Slice index 68
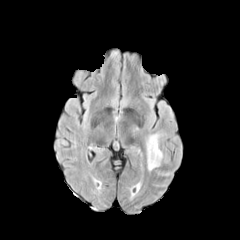
FLAIR MRI.
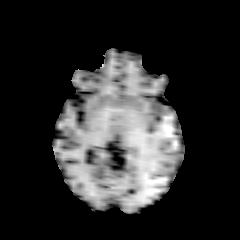
T1-weighted MR image of the same slice.
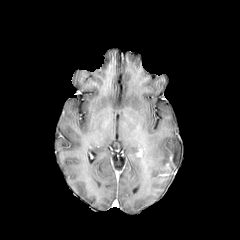
Post-contrast T1-weighted MRI.
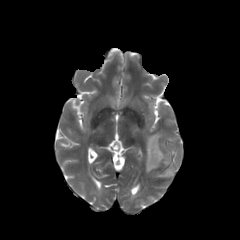
T2-weighted MRI.
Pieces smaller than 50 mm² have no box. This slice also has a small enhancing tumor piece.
Segmented structures:
* peritumoral edema: x1=145 y1=132 x2=165 y2=170